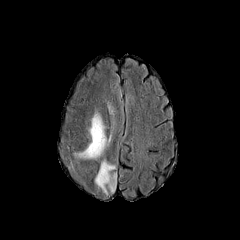
FLAIR MRI.
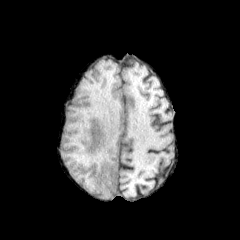
T1-weighted MR of the same slice.
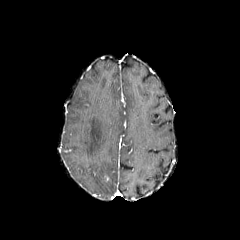
Same slice, post-contrast T1-weighted MR.
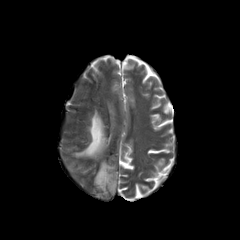
T2-weighted magnetic resonance of the same slice.
Axial slice, Head
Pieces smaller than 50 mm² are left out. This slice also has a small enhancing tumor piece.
peritumoral edema: (73,112,110,160), (95,159,117,194)